Axial view, 240x240
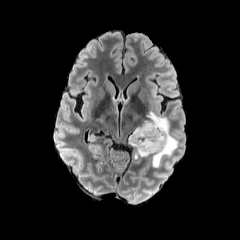
FLAIR MR image.
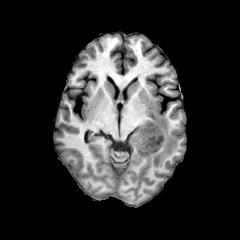
Same slice, T1-weighted MR image.
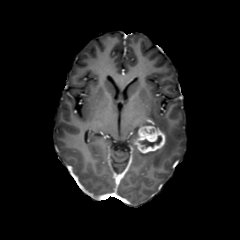
Post-contrast T1-weighted MR image.
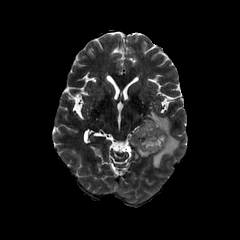
T2-weighted MRI.
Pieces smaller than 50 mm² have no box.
peritumoral edema: rect(128, 110, 178, 168) | enhancing tumor: rect(134, 125, 165, 153) | necrotic tumor core: rect(139, 136, 161, 147)